FLAIR MRI.
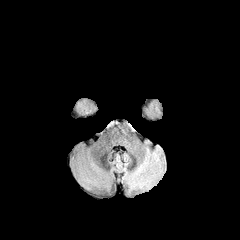
T1-weighted MR.
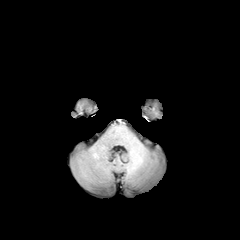
Post-contrast T1-weighted MRI.
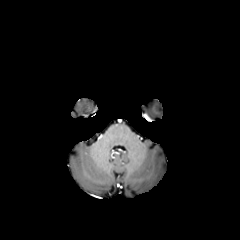
T2-weighted magnetic resonance.
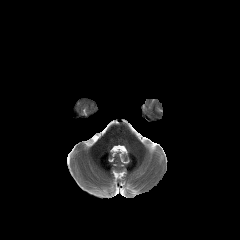
Axial plane.
The peritumoral edema is located at 74, 98, 97, 115.